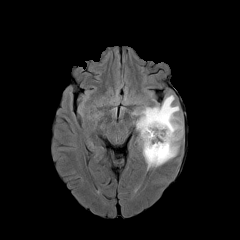
FLAIR MR image.
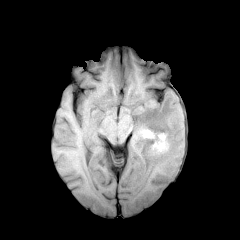
T1-weighted MRI of the same slice.
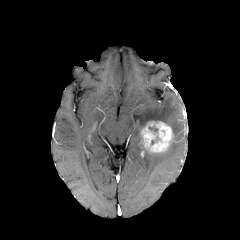
Same slice, post-contrast T1-weighted MR.
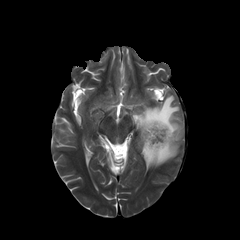
T2-weighted MR image of the same slice.
2 necrotic tumor core regions are bounded by l=151, t=135, r=161, b=144; l=148, t=127, r=157, b=134. The peritumoral edema appears at l=132, t=95, r=183, b=169. The enhancing tumor is at l=142, t=121, r=172, b=152.